Axial slice, Brain
FLAIR magnetic resonance.
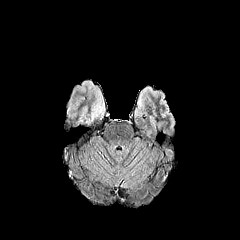
T1-weighted magnetic resonance.
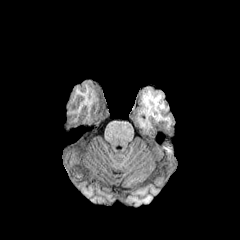
Post-contrast T1-weighted MRI.
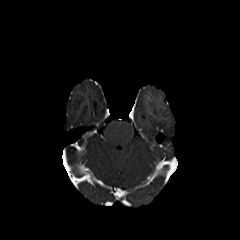
T2-weighted MR image.
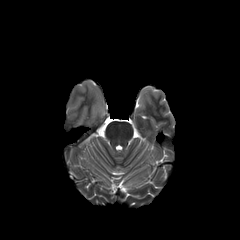
<segmentation>
  <peritumoral_edema>94:99:103:113</peritumoral_edema>
</segmentation>